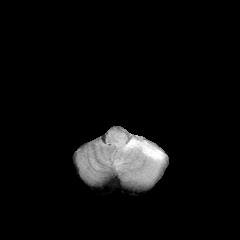
FLAIR MR image.
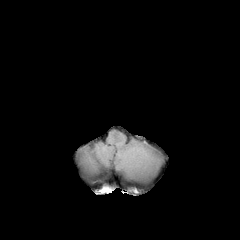
T1-weighted MR.
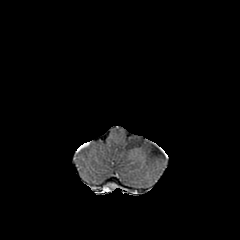
Post-contrast T1-weighted MR.
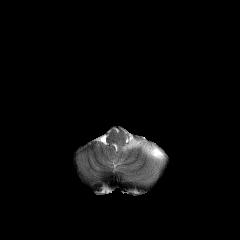
T2-weighted magnetic resonance of the same slice.
Axial slice. 240x240.
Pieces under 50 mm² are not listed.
peritumoral_edema:
  - [112,134,165,180]